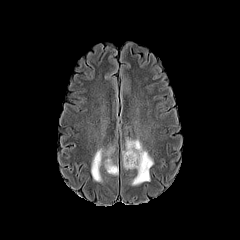
FLAIR MR.
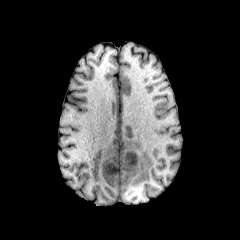
Same slice, T1-weighted MR.
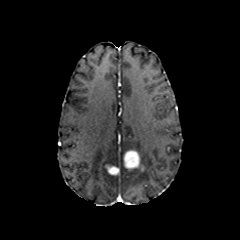
Post-contrast T1-weighted magnetic resonance.
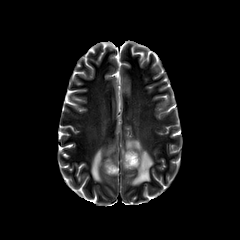
T2-weighted MR image.
Head
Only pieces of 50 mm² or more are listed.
enhancing tumor: [124, 150, 143, 170], [105, 165, 118, 175] | peritumoral edema: [122, 138, 153, 185], [91, 146, 115, 182]